240x240 | Axial plane
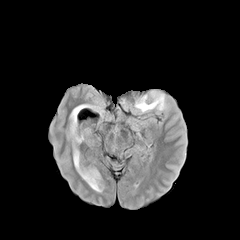
FLAIR MR image.
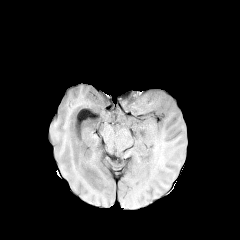
T1-weighted MR of the same slice.
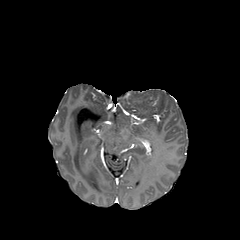
Post-contrast T1-weighted MRI.
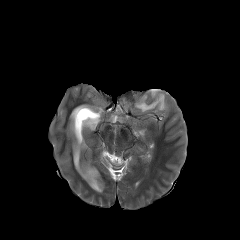
Same slice, T2-weighted MR.
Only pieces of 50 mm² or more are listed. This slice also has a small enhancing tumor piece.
The peritumoral edema is located at (135, 91, 165, 111).